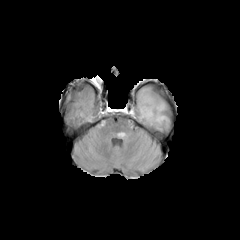
FLAIR MRI.
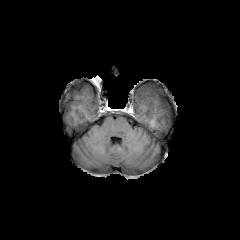
T1-weighted MR image.
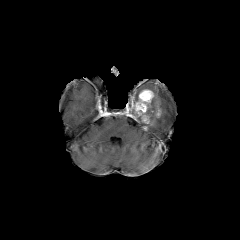
Post-contrast T1-weighted magnetic resonance.
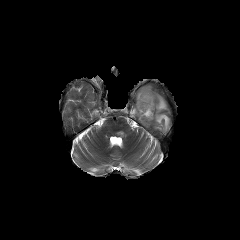
T2-weighted magnetic resonance.
Brain | Axial slice
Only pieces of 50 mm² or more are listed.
The largest peritumoral edema region lies within box=[145, 95, 169, 130]. The largest enhancing tumor region is bounded by box=[127, 89, 154, 123].